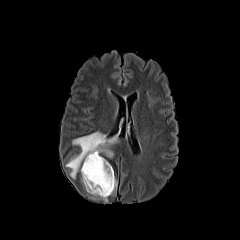
FLAIR MR.
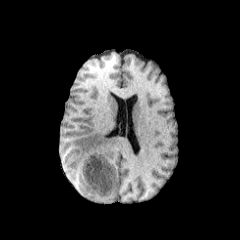
Same slice, T1-weighted magnetic resonance.
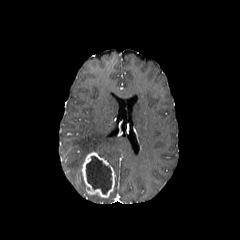
Post-contrast T1-weighted MR image.
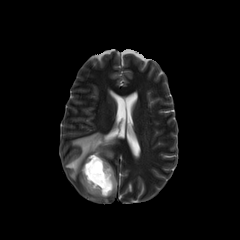
T2-weighted MR image.
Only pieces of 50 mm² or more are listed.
Segmented structures:
• peritumoral edema: [x1=66, y1=132, x2=117, y2=178]
• necrotic tumor core: [x1=86, y1=156, x2=111, y2=194]
• enhancing tumor: [x1=81, y1=152, x2=115, y2=197]